FLAIR MR image.
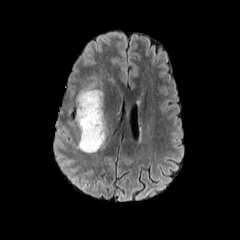
T1-weighted MR image.
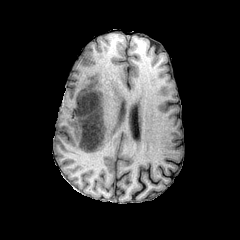
Post-contrast T1-weighted MR image.
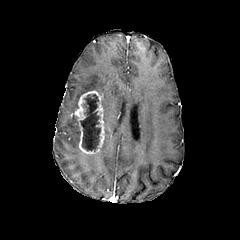
T2-weighted magnetic resonance.
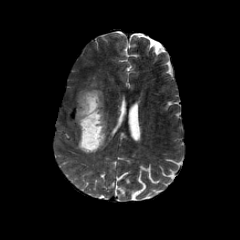
Brain
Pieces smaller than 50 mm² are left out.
necrotic tumor core: bounding box x1=80, y1=94, x2=100, y2=150
peritumoral edema: bounding box x1=102, y1=113, x2=111, y2=147; x1=77, y1=84, x2=103, y2=107
enhancing tumor: bounding box x1=75, y1=90, x2=105, y2=153